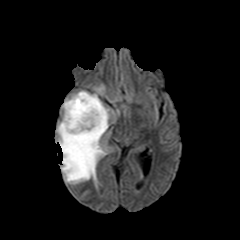
FLAIR MR.
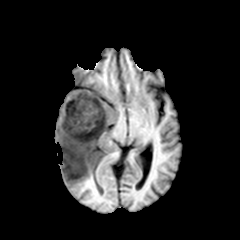
T1-weighted MR.
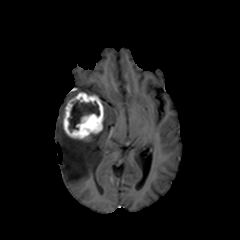
Post-contrast T1-weighted MR image.
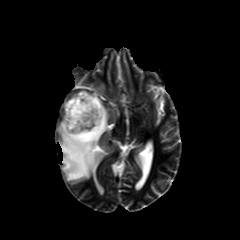
T2-weighted MR.
240x240, Brain
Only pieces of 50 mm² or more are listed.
peritumoral edema — l=56, t=106, r=109, b=183; l=93, t=85, r=104, b=95
necrotic tumor core — l=69, t=101, r=99, b=131
enhancing tumor — l=63, t=92, r=104, b=141